FLAIR MRI.
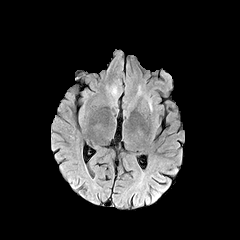
T1-weighted MRI.
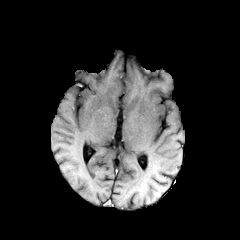
Post-contrast T1-weighted magnetic resonance.
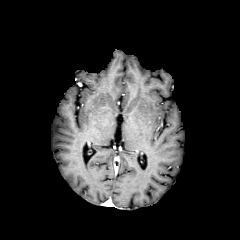
T2-weighted MR.
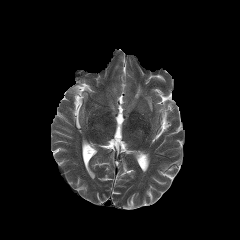
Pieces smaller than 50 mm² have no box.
peritumoral_edema:
  - rect(111, 86, 117, 96)